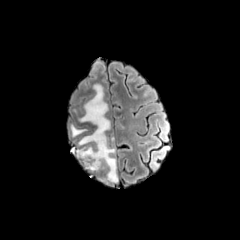
FLAIR MR.
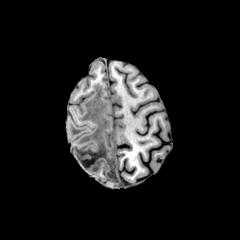
T1-weighted MR.
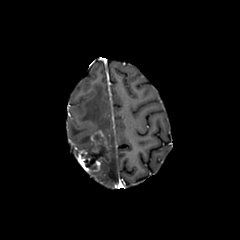
Post-contrast T1-weighted magnetic resonance of the same slice.
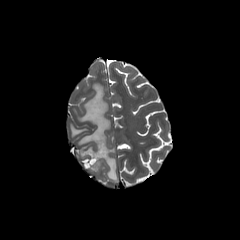
Same slice, T2-weighted MRI.
Brain | Axial plane | 240x240
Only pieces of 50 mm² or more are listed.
enhancing_tumor:
  - (75,130,110,171)
peritumoral_edema:
  - (99,156,118,182)
  - (76,84,110,148)
  - (70,125,86,136)
necrotic_tumor_core:
  - (81,134,108,168)